240x240 px; Axial plane
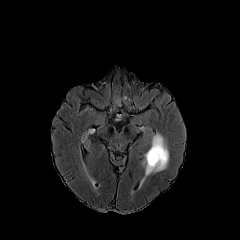
FLAIR MR image.
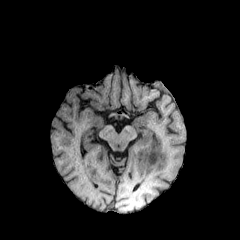
T1-weighted MR image of the same slice.
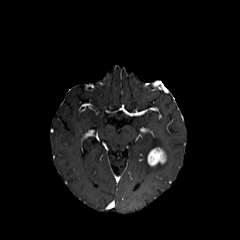
Post-contrast T1-weighted magnetic resonance.
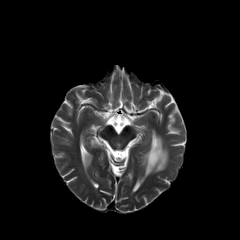
Same slice, T2-weighted magnetic resonance.
peritumoral edema: 142:133:169:181 | enhancing tumor: 147:147:166:166